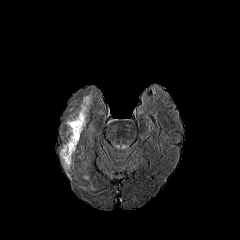
FLAIR MRI.
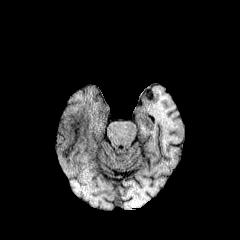
Same slice, T1-weighted MR.
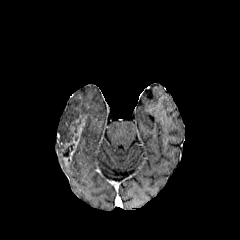
Same slice, post-contrast T1-weighted MR image.
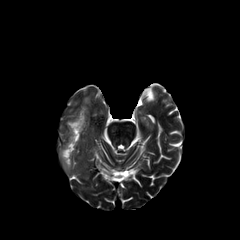
T2-weighted magnetic resonance of the same slice.
240x240 px; Axial view
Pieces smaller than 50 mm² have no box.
- enhancing tumor: (63, 118, 85, 165)
- necrotic tumor core: (61, 143, 74, 157), (72, 116, 83, 133)
- peritumoral edema: (66, 95, 91, 142), (60, 143, 72, 171)